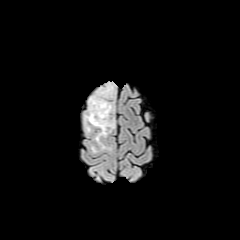
FLAIR MR image.
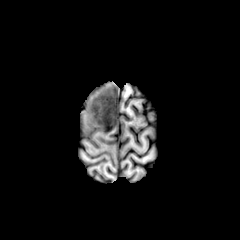
T1-weighted MR of the same slice.
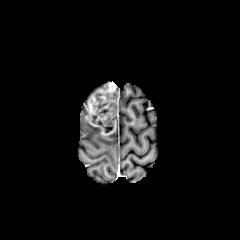
Post-contrast T1-weighted MRI.
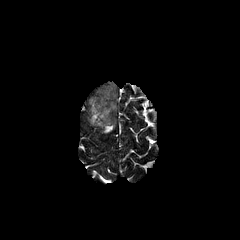
T2-weighted MR image of the same slice.
Axial slice. Image size 240x240.
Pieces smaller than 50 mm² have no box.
{
  "enhancing_tumor": [
    "85, 82, 116, 135"
  ],
  "necrotic_tumor_core": [
    "104, 117, 113, 132"
  ],
  "peritumoral_edema": [
    "84, 112, 92, 133",
    "94, 129, 107, 149"
  ]
}